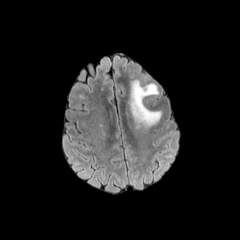
FLAIR MR image.
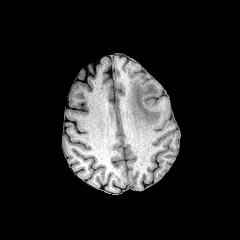
T1-weighted MR image.
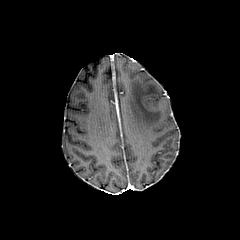
Same slice, post-contrast T1-weighted MR image.
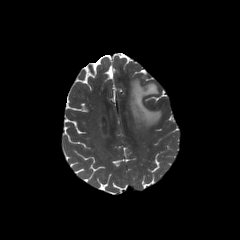
Same slice, T2-weighted MRI.
Image size 240x240, Brain, Axial slice
The peritumoral edema lies within box=[130, 80, 161, 127].